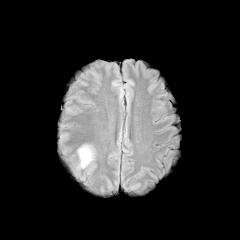
FLAIR MR.
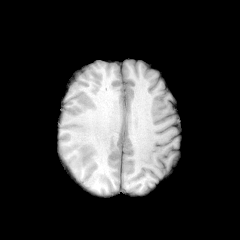
T1-weighted magnetic resonance.
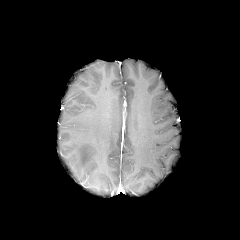
Same slice, post-contrast T1-weighted MRI.
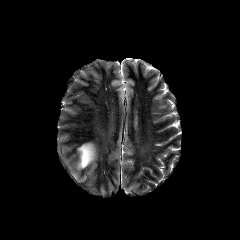
T2-weighted MRI.
Axial plane.
peritumoral_edema:
  - bbox=[78, 145, 93, 167]